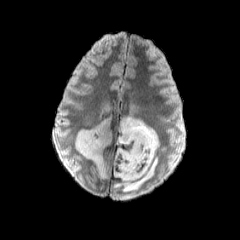
FLAIR MR.
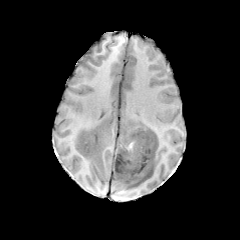
T1-weighted MR.
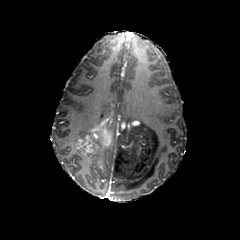
Post-contrast T1-weighted MR.
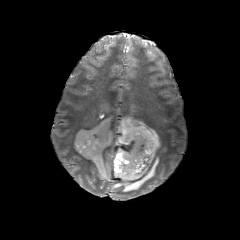
T2-weighted MRI of the same slice.
Head. 240x240 px.
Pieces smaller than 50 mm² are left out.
Annotated regions:
- peritumoral edema: l=92, t=151, r=105, b=177; l=114, t=100, r=159, b=191; l=75, t=129, r=90, b=142; l=103, t=103, r=113, b=118
- enhancing tumor: l=75, t=116, r=139, b=159
- necrotic tumor core: l=90, t=136, r=101, b=147